FLAIR MR.
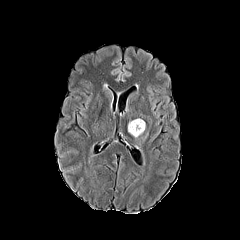
T1-weighted MR image.
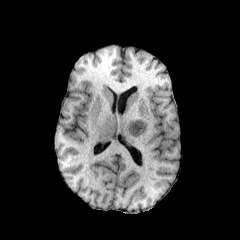
Post-contrast T1-weighted magnetic resonance.
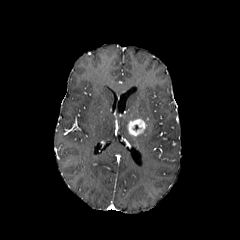
T2-weighted MR image.
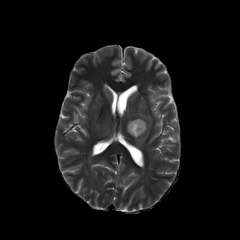
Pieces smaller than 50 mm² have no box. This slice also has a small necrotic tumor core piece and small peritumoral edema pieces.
<segmentation>
  <enhancing_tumor>127:118:146:136</enhancing_tumor>
</segmentation>